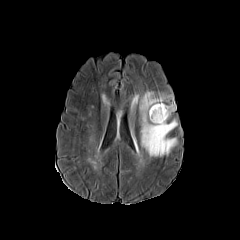
FLAIR MR.
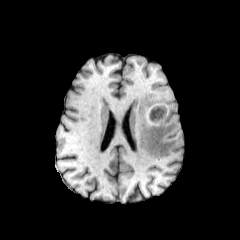
T1-weighted magnetic resonance.
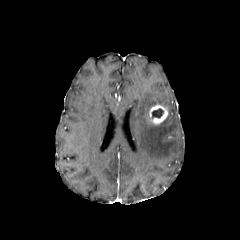
Post-contrast T1-weighted MR.
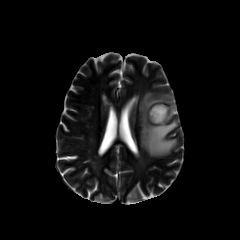
T2-weighted MR.
Brain
peritumoral edema: box=[139, 91, 177, 156] | enhancing tumor: box=[149, 104, 168, 124] | necrotic tumor core: box=[152, 108, 163, 117]